FLAIR MR.
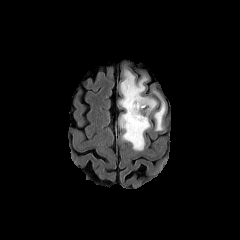
T1-weighted MR image.
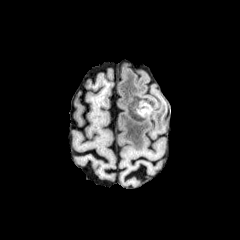
Post-contrast T1-weighted MR.
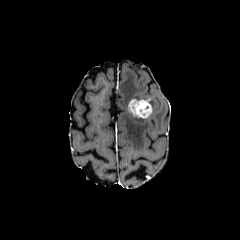
T2-weighted magnetic resonance.
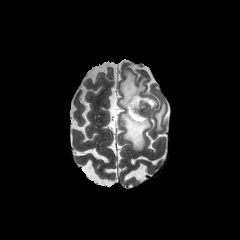
Axial slice
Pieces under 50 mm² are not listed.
enhancing tumor at (128, 98, 150, 119)
necrotic tumor core at (137, 103, 151, 116)
peritumoral edema at (154, 102, 165, 130), (119, 70, 150, 150)